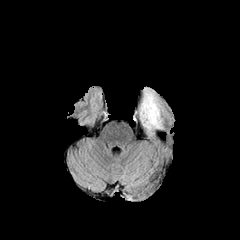
FLAIR magnetic resonance.
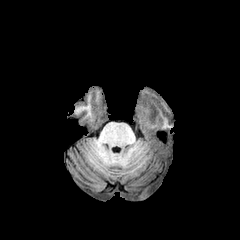
T1-weighted MRI.
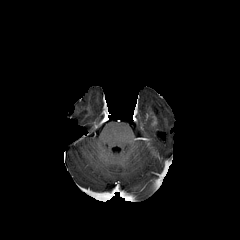
Post-contrast T1-weighted MR.
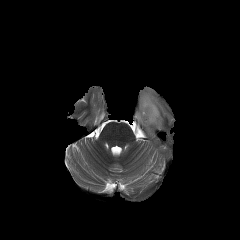
Same slice, T2-weighted magnetic resonance.
Axial slice
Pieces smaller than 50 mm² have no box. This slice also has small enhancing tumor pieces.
* peritumoral edema: bbox=[140, 89, 162, 135]